Slice 61/155 | Brain | 240x240
FLAIR magnetic resonance.
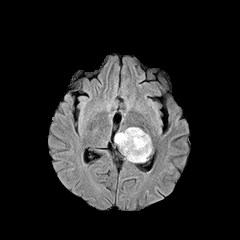
T1-weighted magnetic resonance.
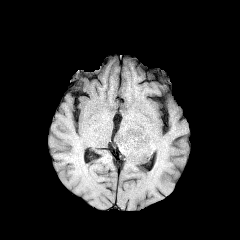
Post-contrast T1-weighted MR.
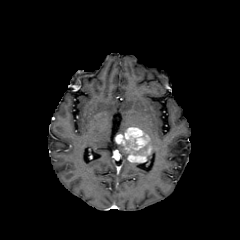
T2-weighted MR.
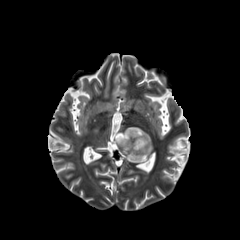
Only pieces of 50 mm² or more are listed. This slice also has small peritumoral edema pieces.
The enhancing tumor is at <bbox>115, 127, 151, 162</bbox>.